Axial view | Image width 240 mm | Head
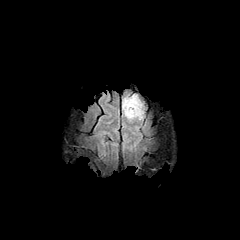
FLAIR MRI.
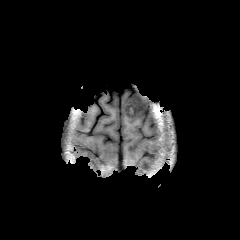
Same slice, T1-weighted MRI.
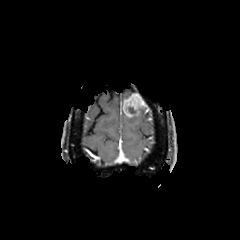
Post-contrast T1-weighted MR.
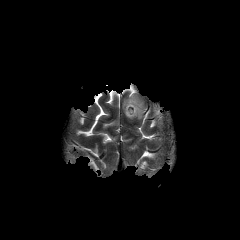
T2-weighted MRI of the same slice.
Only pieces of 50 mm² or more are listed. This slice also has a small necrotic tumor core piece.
The largest peritumoral edema region is located at (127,110,143,120). The enhancing tumor is located at (123,93,145,117).